FLAIR MR image.
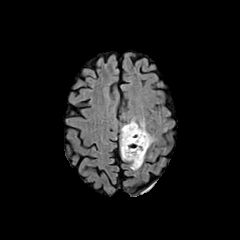
T1-weighted MR image.
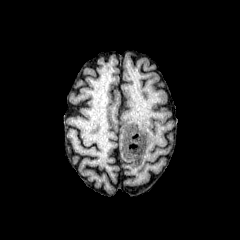
Post-contrast T1-weighted MR.
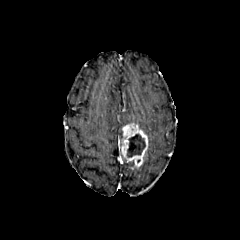
T2-weighted MR.
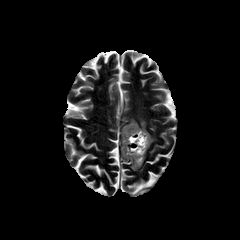
Head; 240x240
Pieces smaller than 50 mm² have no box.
necrotic tumor core: (x1=127, y1=134, x2=145, y2=157) | enhancing tumor: (x1=121, y1=122, x2=148, y2=169) | peritumoral edema: (x1=138, y1=119, x2=155, y2=146)